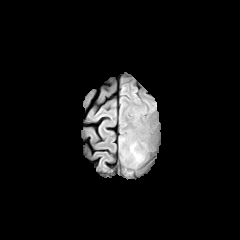
FLAIR MRI.
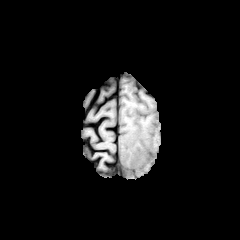
T1-weighted MR image.
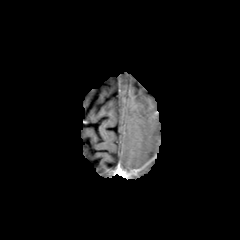
Post-contrast T1-weighted magnetic resonance.
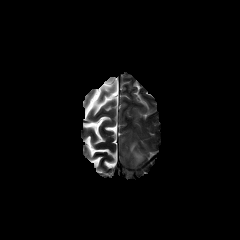
T2-weighted MRI.
Axial plane | Head
peritumoral edema at box(130, 143, 142, 161)